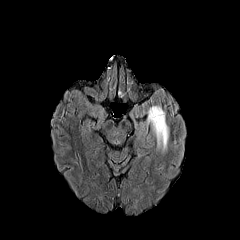
FLAIR MRI.
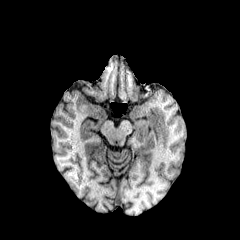
T1-weighted magnetic resonance of the same slice.
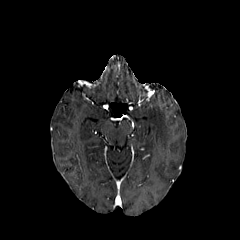
Post-contrast T1-weighted MR image.
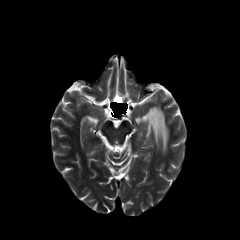
Same slice, T2-weighted MR image.
Head
peritumoral edema: bounding box left=145, top=106, right=169, bottom=152